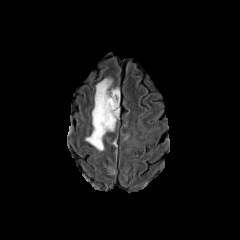
FLAIR MR.
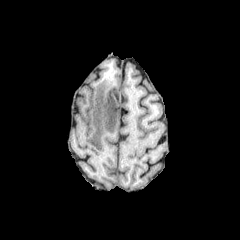
T1-weighted MRI of the same slice.
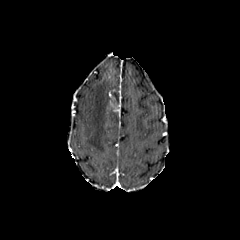
Post-contrast T1-weighted MR of the same slice.
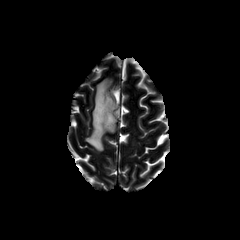
Same slice, T2-weighted MR.
240x240 px, Axial plane
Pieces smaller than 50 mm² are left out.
peritumoral_edema:
  - x1=85 y1=78 x2=118 y2=150
necrotic_tumor_core:
  - x1=107 y1=109 x2=115 y2=127
enhancing_tumor:
  - x1=106 y1=95 x2=119 y2=116